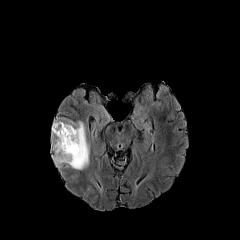
FLAIR magnetic resonance.
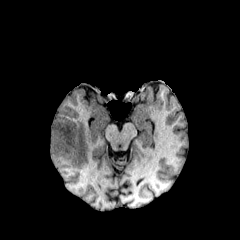
T1-weighted MR image.
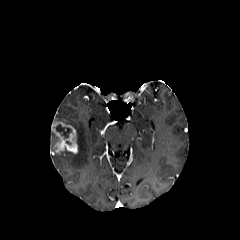
Post-contrast T1-weighted MRI of the same slice.
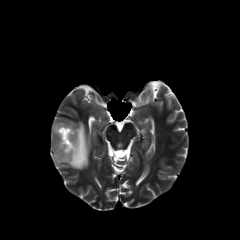
T2-weighted MR of the same slice.
Head
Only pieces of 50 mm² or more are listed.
Findings:
- enhancing tumor: 51 121 77 153
- necrotic tumor core: 56 124 71 138
- peritumoral edema: 52 117 89 170, 51 132 56 150